FLAIR MRI.
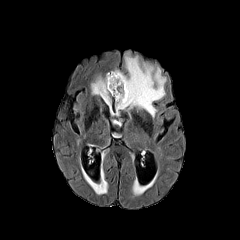
T1-weighted MR.
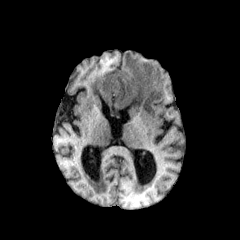
Post-contrast T1-weighted MR image.
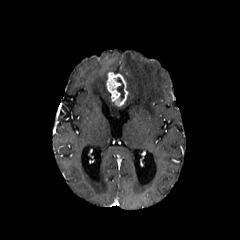
T2-weighted MRI.
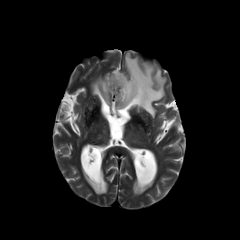
Axial view
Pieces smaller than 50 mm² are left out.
peritumoral edema: bounding box (85, 176, 107, 194), (91, 75, 110, 106), (114, 53, 166, 117)
enhancing tumor: bounding box (106, 72, 128, 106)
necrotic tumor core: bounding box (117, 77, 124, 100)